FLAIR MR.
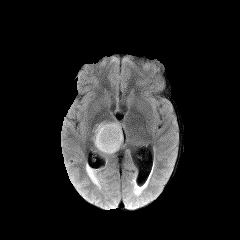
T1-weighted MR.
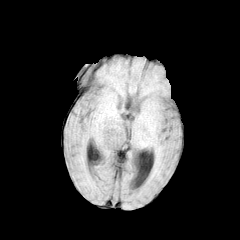
Post-contrast T1-weighted magnetic resonance.
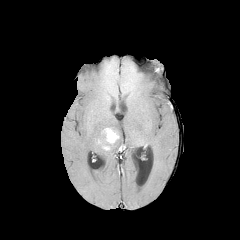
T2-weighted magnetic resonance.
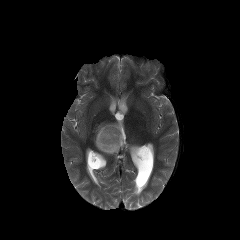
Axial plane. 240x240.
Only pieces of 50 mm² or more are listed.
{
  "peritumoral_edema": [
    "l=93, t=122, r=123, b=154"
  ],
  "enhancing_tumor": [
    "l=102, t=128, r=119, b=144"
  ]
}